FLAIR MR.
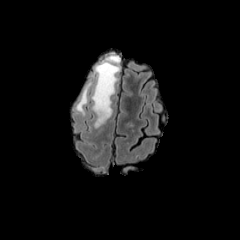
T1-weighted MRI.
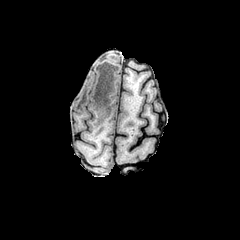
Post-contrast T1-weighted MR image.
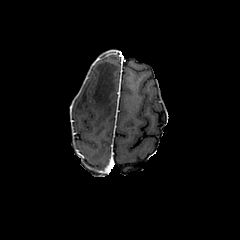
T2-weighted MR image.
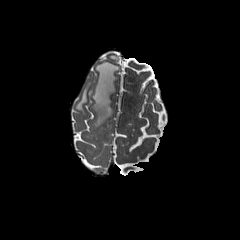
Brain.
Findings:
* peritumoral edema: box=[76, 82, 91, 114]; box=[92, 54, 121, 127]